Slice 87/155. Head. Image size 240x240.
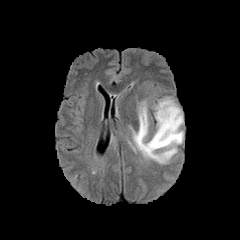
FLAIR MRI.
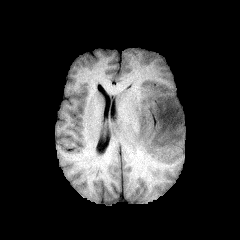
T1-weighted magnetic resonance of the same slice.
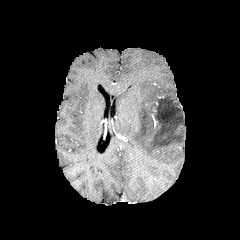
Post-contrast T1-weighted MR image.
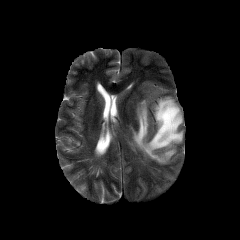
T2-weighted magnetic resonance.
peritumoral edema: [130,96,183,164]